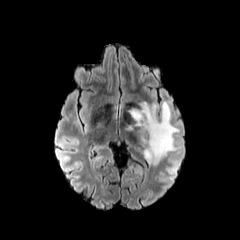
FLAIR magnetic resonance.
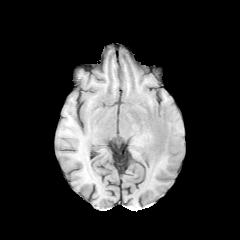
T1-weighted MR.
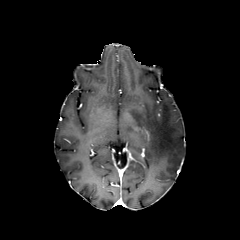
Post-contrast T1-weighted magnetic resonance of the same slice.
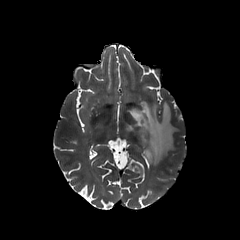
Same slice, T2-weighted MR.
Head, 240x240 px
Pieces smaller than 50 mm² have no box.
peritumoral edema: 126:101:178:167